Brain. Slice 106/155. Axial view.
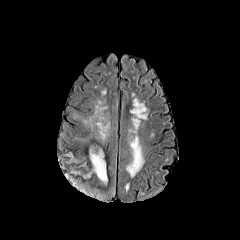
FLAIR magnetic resonance.
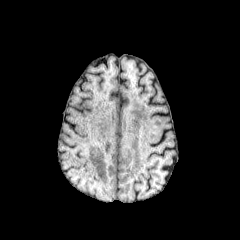
T1-weighted magnetic resonance.
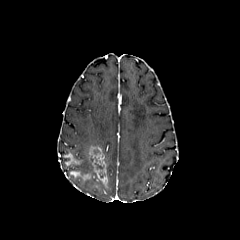
Post-contrast T1-weighted MR image.
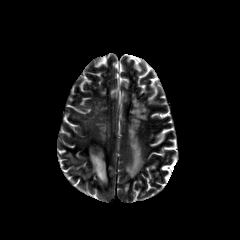
T2-weighted MR image.
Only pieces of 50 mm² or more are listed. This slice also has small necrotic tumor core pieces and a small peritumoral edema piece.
3 enhancing tumor regions are bounded by {"x1": 70, "y1": 171, "x2": 90, "y2": 179}, {"x1": 64, "y1": 153, "x2": 81, "y2": 165}, {"x1": 89, "y1": 145, "x2": 107, "y2": 184}.